FLAIR MR image.
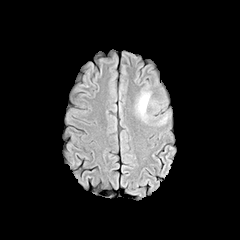
T1-weighted MRI.
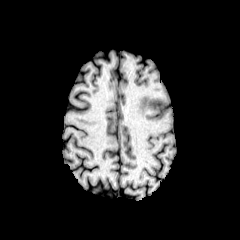
Post-contrast T1-weighted MR image.
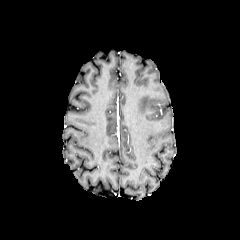
T2-weighted MR image.
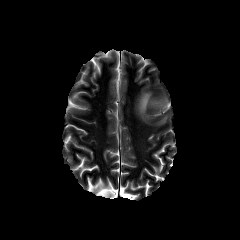
Brain; Axial plane
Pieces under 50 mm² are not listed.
peritumoral edema: box=[136, 92, 153, 119]